Axial slice, Brain, Slice 109/155
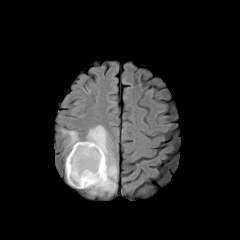
FLAIR magnetic resonance.
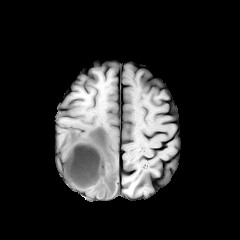
T1-weighted MRI.
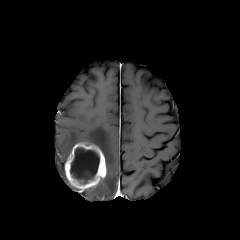
Post-contrast T1-weighted MR image.
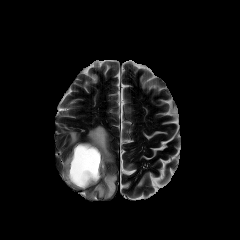
T2-weighted MR image of the same slice.
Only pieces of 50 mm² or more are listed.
The largest peritumoral edema region is bounded by bbox(62, 125, 117, 196). The enhancing tumor is bounded by bbox(65, 142, 106, 190). The necrotic tumor core appears at bbox(70, 147, 99, 183).